FLAIR magnetic resonance.
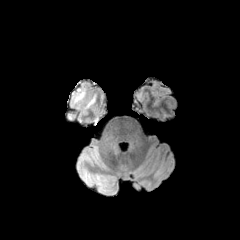
T1-weighted MRI.
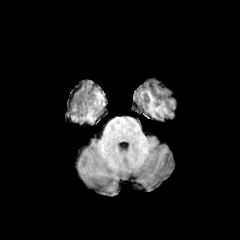
Post-contrast T1-weighted MR.
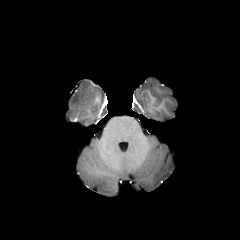
T2-weighted magnetic resonance.
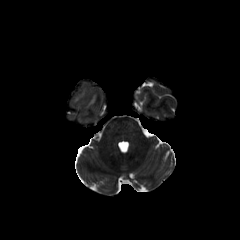
Axial view | Head
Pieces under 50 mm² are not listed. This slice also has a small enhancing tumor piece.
2 peritumoral edema regions appear at bbox(85, 94, 96, 108); bbox(72, 85, 86, 104).